Axial slice | Image size 240x240
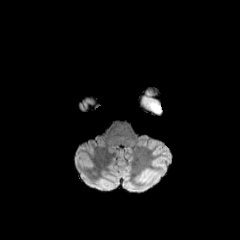
FLAIR MRI.
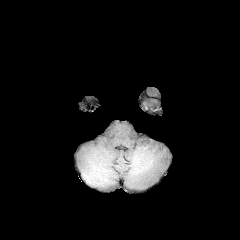
Same slice, T1-weighted MR image.
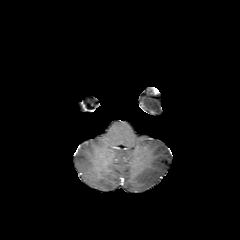
Post-contrast T1-weighted MR image.
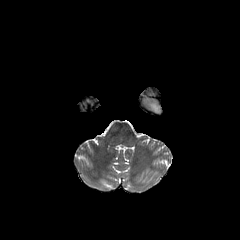
T2-weighted magnetic resonance.
The peritumoral edema lies within region(147, 101, 162, 115).